Slice 39 of 155; Axial view; 240x240 px
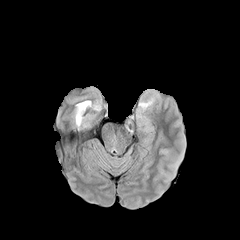
FLAIR MR image.
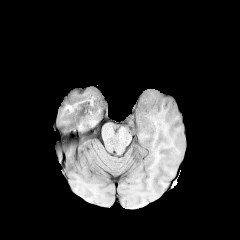
T1-weighted magnetic resonance of the same slice.
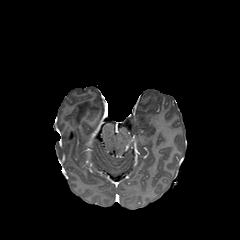
Post-contrast T1-weighted MRI.
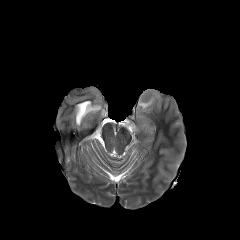
T2-weighted MR image.
<segmentation>
  <peritumoral_edema>139,100,152,108</peritumoral_edema>
</segmentation>